FLAIR magnetic resonance.
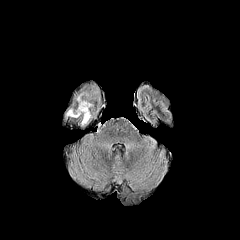
T1-weighted MRI.
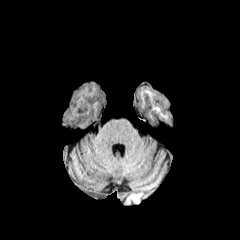
Post-contrast T1-weighted MRI.
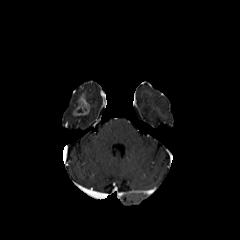
T2-weighted MR image.
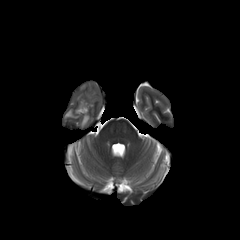
Brain. 240x240.
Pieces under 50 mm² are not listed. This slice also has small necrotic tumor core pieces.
enhancing tumor = rect(73, 93, 90, 115)
peritumoral edema = rect(81, 112, 91, 125); rect(66, 108, 78, 117)